FLAIR magnetic resonance.
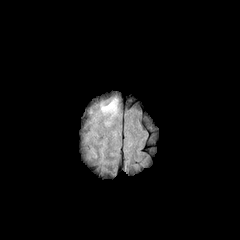
T1-weighted MRI.
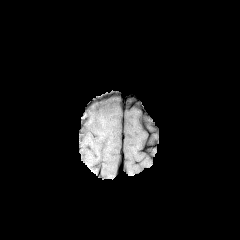
Post-contrast T1-weighted magnetic resonance.
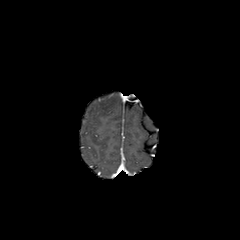
T2-weighted MR.
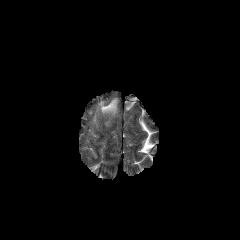
Axial slice
Annotated regions:
• peritumoral edema: box(101, 98, 117, 115)